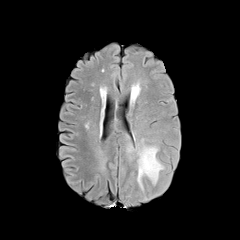
FLAIR MRI.
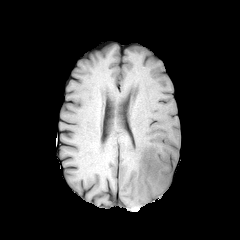
T1-weighted MR image.
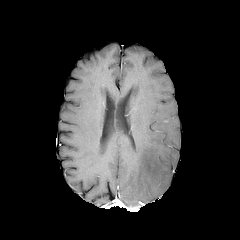
Same slice, post-contrast T1-weighted MRI.
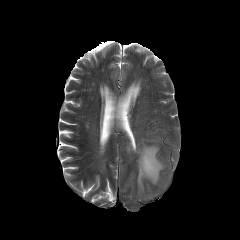
T2-weighted MRI of the same slice.
Brain
<segmentation>
  <peritumoral_edema>(x1=128, y1=139, x2=164, y2=191)</peritumoral_edema>
</segmentation>